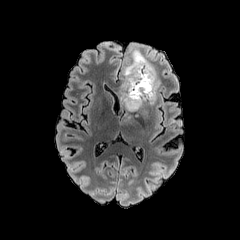
FLAIR magnetic resonance.
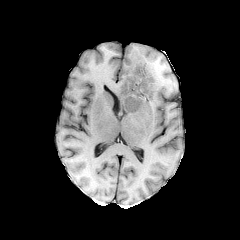
T1-weighted MRI.
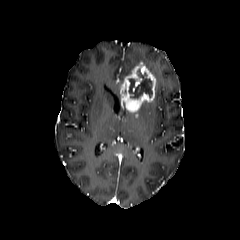
Post-contrast T1-weighted MR image of the same slice.
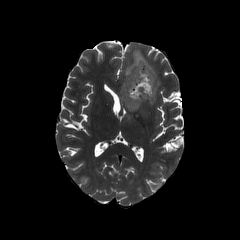
T2-weighted MRI.
Axial view, Head
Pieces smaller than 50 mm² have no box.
enhancing tumor: [120, 61, 156, 112] | peritumoral edema: [121, 45, 160, 104] | necrotic tumor core: [129, 69, 152, 98]